Image width 240 mm, 1.00 mm slice spacing | Slice 129/155 | 240x240
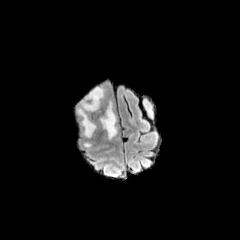
FLAIR magnetic resonance.
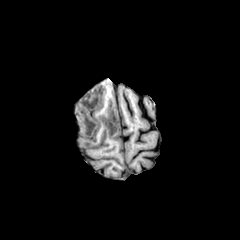
Same slice, T1-weighted MRI.
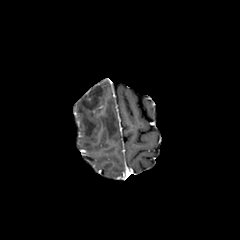
Same slice, post-contrast T1-weighted MR image.
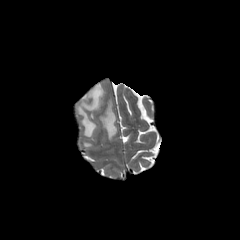
T2-weighted magnetic resonance of the same slice.
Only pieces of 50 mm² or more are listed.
Segmented structures:
- peritumoral edema: l=100, t=102, r=117, b=139; l=78, t=87, r=103, b=137